Image size 240x240; Brain; Slice 108 of 155
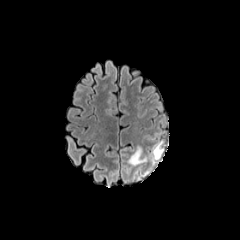
FLAIR magnetic resonance.
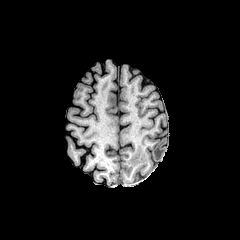
T1-weighted MR image of the same slice.
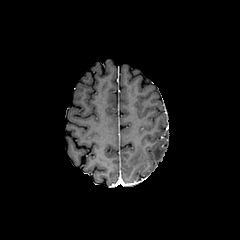
Same slice, post-contrast T1-weighted magnetic resonance.
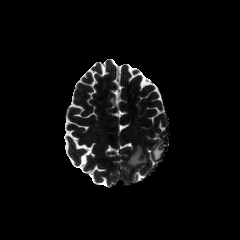
Same slice, T2-weighted magnetic resonance.
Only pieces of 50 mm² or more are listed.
The 2 largest peritumoral edema regions are located at 153,142,163,159; 128,147,145,165.